Head. Slice index 76. Axial slice. 240x240 px.
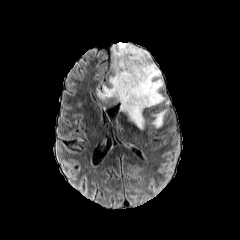
FLAIR MR image.
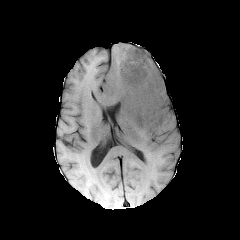
T1-weighted magnetic resonance.
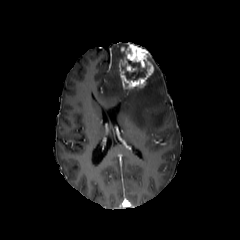
Post-contrast T1-weighted magnetic resonance of the same slice.
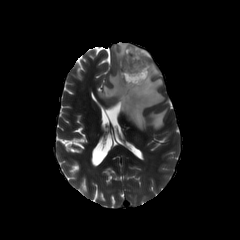
T2-weighted MRI.
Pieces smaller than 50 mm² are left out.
The largest necrotic tumor core region lies within left=125, top=59, right=146, bottom=80. The largest peritumoral edema region appears at left=97, top=47, right=166, bottom=129. The enhancing tumor is bounded by left=119, top=42, right=154, bottom=90.